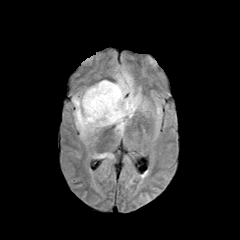
FLAIR MR image.
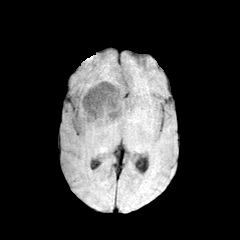
T1-weighted MRI of the same slice.
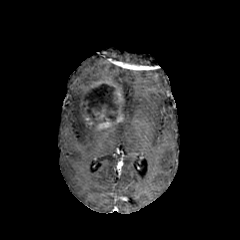
Same slice, post-contrast T1-weighted MR image.
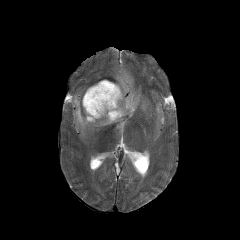
T2-weighted MRI.
Head
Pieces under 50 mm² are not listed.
The enhancing tumor appears at <bbox>78, 80, 123, 129</bbox>. The 2 largest peritumoral edema regions are bounded by <bbox>112, 68, 149, 135</bbox>, <bbox>72, 90, 98, 139</bbox>. The necrotic tumor core is located at <bbox>85, 84, 118, 124</bbox>.